FLAIR MR image.
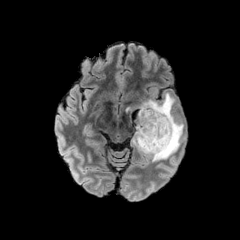
T1-weighted magnetic resonance.
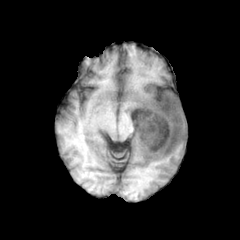
Post-contrast T1-weighted MRI.
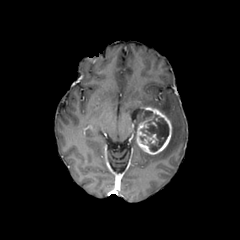
T2-weighted MR.
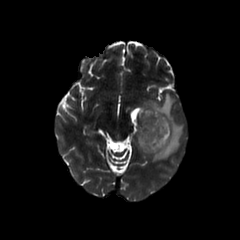
Axial slice.
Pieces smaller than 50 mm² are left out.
The peritumoral edema is located at bbox=[133, 93, 184, 161]. The largest enhancing tumor region is at bbox=[136, 106, 172, 154]. The 2 largest necrotic tumor core regions are bounded by bbox=[143, 110, 152, 119]; bbox=[141, 118, 168, 151].